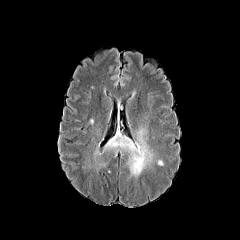
FLAIR MR image.
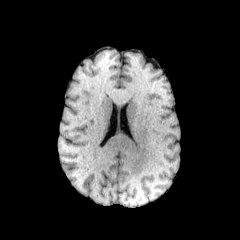
T1-weighted MR image.
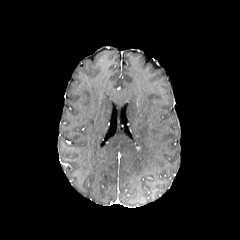
Post-contrast T1-weighted MR.
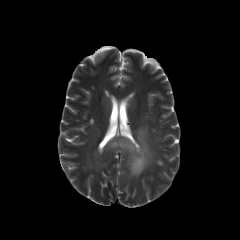
T2-weighted magnetic resonance of the same slice.
Axial slice
The peritumoral edema is bounded by [85,121,164,178].